Image width 240 mm, 1.00 mm slice spacing | Head
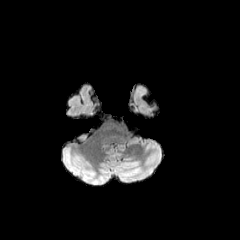
FLAIR magnetic resonance.
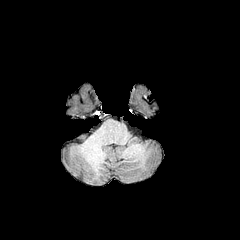
Same slice, T1-weighted MR.
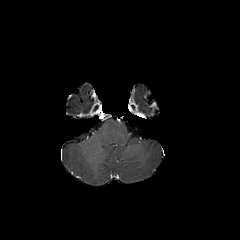
Post-contrast T1-weighted MR image of the same slice.
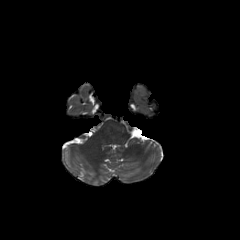
Same slice, T2-weighted MRI.
{
  "peritumoral_edema": [
    "133,85,140,98"
  ]
}